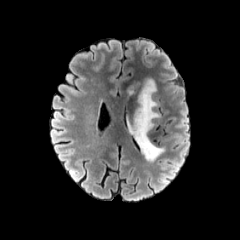
FLAIR magnetic resonance.
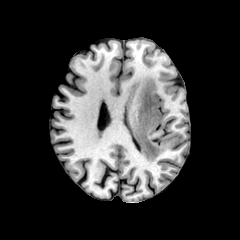
T1-weighted MRI of the same slice.
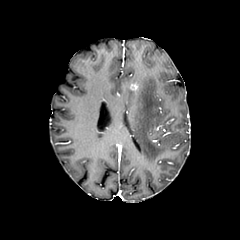
Post-contrast T1-weighted MR image of the same slice.
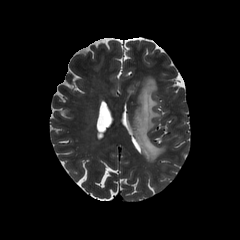
T2-weighted MR.
240x240 px, Brain
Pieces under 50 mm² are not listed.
{
  "enhancing_tumor": [
    "l=130, t=82, r=139, b=91"
  ],
  "peritumoral_edema": [
    "l=130, t=77, r=165, b=162"
  ]
}